Image width 240 mm, 1.00 mm slice spacing; Image size 240x240; Brain; Slice 87 of 155
FLAIR MR image.
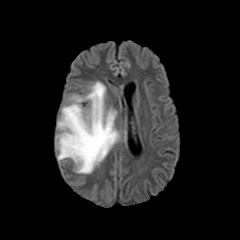
T1-weighted MR.
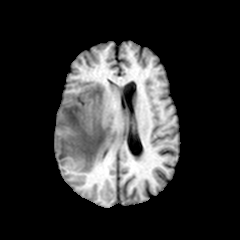
Post-contrast T1-weighted magnetic resonance.
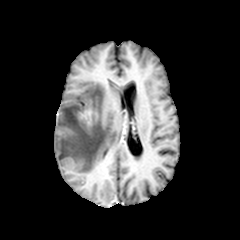
T2-weighted MR image.
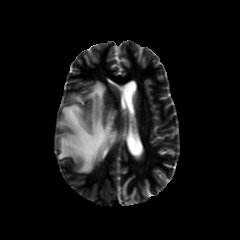
The enhancing tumor appears at [80, 111, 91, 118]. The peritumoral edema lies within [55, 81, 120, 173].